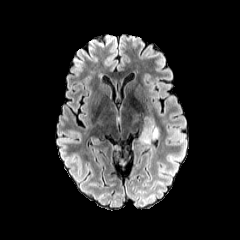
FLAIR magnetic resonance.
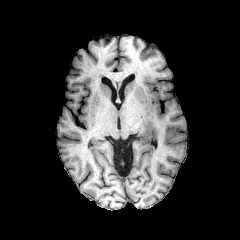
T1-weighted MR image of the same slice.
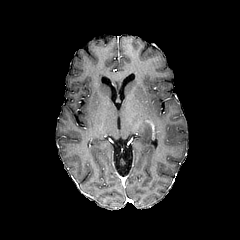
Same slice, post-contrast T1-weighted MR image.
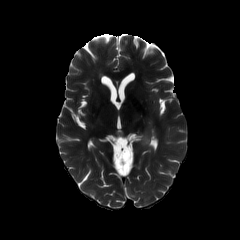
T2-weighted magnetic resonance.
Axial slice | Head
peritumoral_edema:
  - 139:115:159:144